Slice 125/155, Image width 240 mm
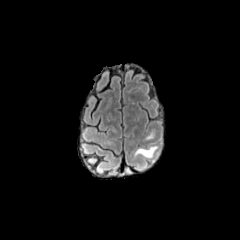
FLAIR magnetic resonance.
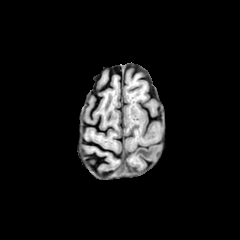
T1-weighted MR of the same slice.
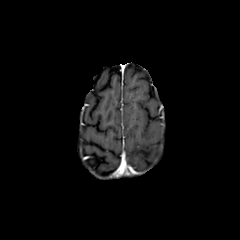
Post-contrast T1-weighted MRI of the same slice.
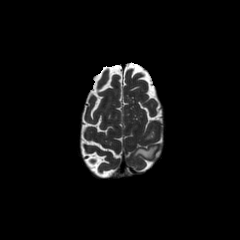
T2-weighted MRI of the same slice.
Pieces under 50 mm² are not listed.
peritumoral_edema:
  - region(134, 146, 158, 158)